Head | Image width 240 mm
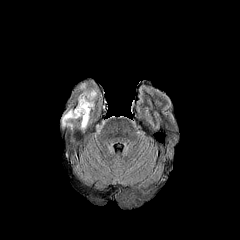
FLAIR magnetic resonance.
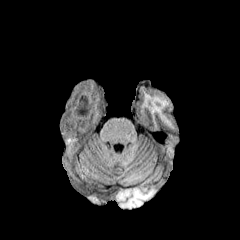
T1-weighted magnetic resonance.
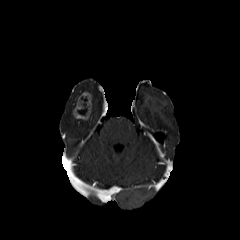
Post-contrast T1-weighted MR.
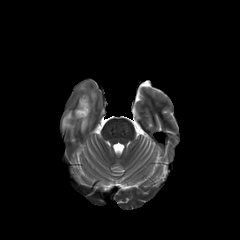
Same slice, T2-weighted MR.
Findings:
* peritumoral edema: bbox(62, 109, 75, 130); bbox(79, 83, 97, 110); bbox(81, 118, 89, 130)
* enhancing tumor: bbox(72, 92, 91, 120)
* necrotic tumor core: bbox(77, 96, 87, 115)